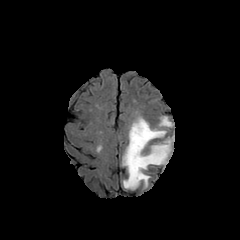
FLAIR MRI.
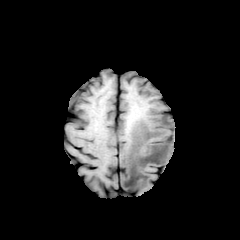
T1-weighted MR image.
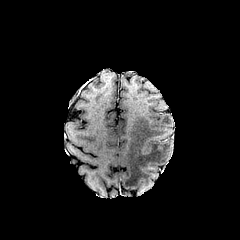
Post-contrast T1-weighted MR image of the same slice.
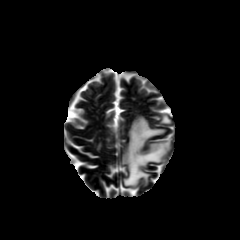
T2-weighted MR.
240x240 px; Axial view
Segmented structures:
• peritumoral edema: [158, 116, 172, 126], [122, 116, 173, 189]